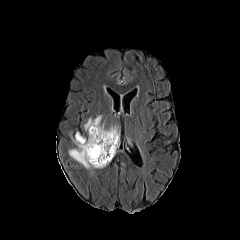
FLAIR MR image.
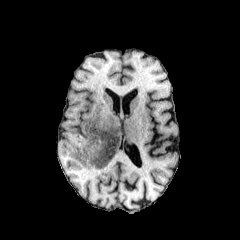
T1-weighted MR image of the same slice.
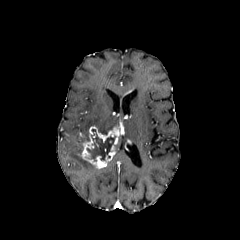
Post-contrast T1-weighted MR of the same slice.
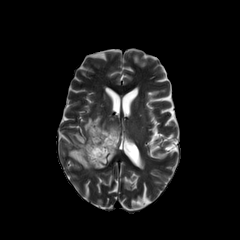
T2-weighted MR.
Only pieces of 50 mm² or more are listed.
<segmentation>
  <enhancing_tumor>l=79, t=125, r=119, b=168</enhancing_tumor>
  <peritumoral_edema>l=68, t=132, r=96, b=169; l=84, t=116, r=113, b=135</peritumoral_edema>
  <necrotic_tumor_core>l=87, t=134, r=115, b=161</necrotic_tumor_core>
</segmentation>